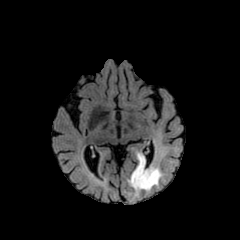
FLAIR MR.
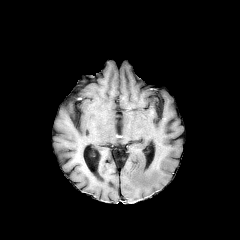
Same slice, T1-weighted magnetic resonance.
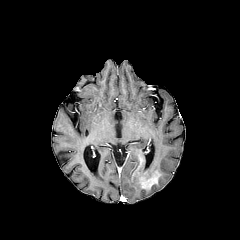
Same slice, post-contrast T1-weighted MR image.
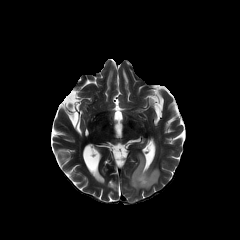
T2-weighted MR of the same slice.
Image size 240x240. Axial slice. Head.
enhancing tumor: <box>133,156,159,188</box> | peritumoral edema: <box>128,153,162,195</box>